FLAIR magnetic resonance.
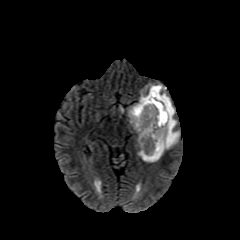
T1-weighted MR image.
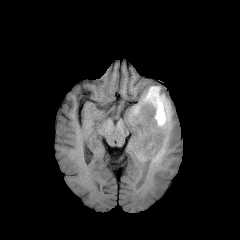
Post-contrast T1-weighted MR image.
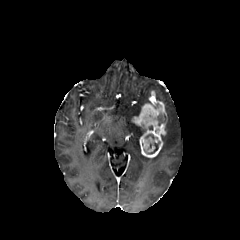
T2-weighted MR image.
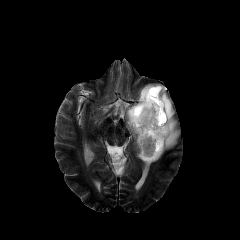
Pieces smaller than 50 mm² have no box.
Findings:
• necrotic tumor core: (157, 114, 166, 125)
• peritumoral edema: (127, 83, 180, 162)
• enhancing tumor: (132, 91, 166, 158)